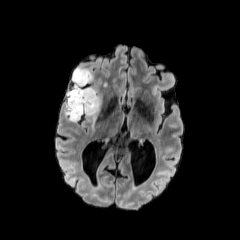
FLAIR MR.
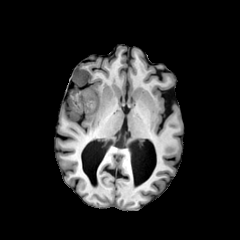
T1-weighted magnetic resonance.
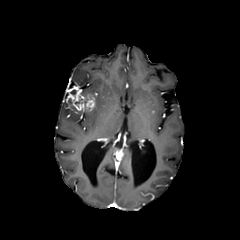
Post-contrast T1-weighted magnetic resonance.
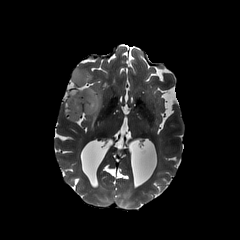
T2-weighted MRI.
Brain.
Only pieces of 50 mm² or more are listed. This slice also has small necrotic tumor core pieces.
enhancing_tumor:
  - bbox=[66, 86, 97, 113]
peritumoral_edema:
  - bbox=[64, 96, 99, 120]
  - bbox=[82, 88, 96, 93]
  - bbox=[72, 68, 91, 88]